FLAIR MRI.
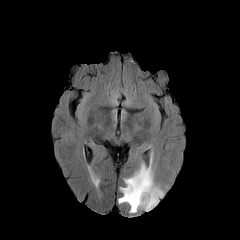
T1-weighted MR image.
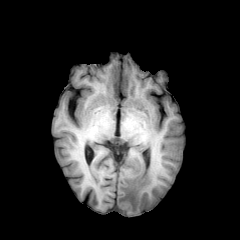
Post-contrast T1-weighted MR.
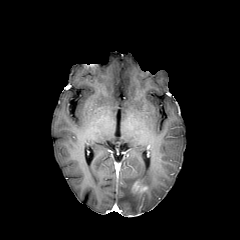
T2-weighted MRI.
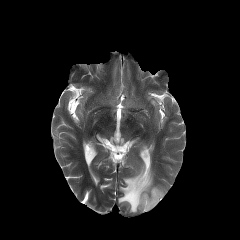
240x240. Axial plane.
{"peritumoral_edema": ["(118, 161, 163, 212)"], "enhancing_tumor": ["(130, 180, 147, 196)"]}